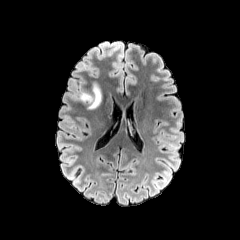
FLAIR MR.
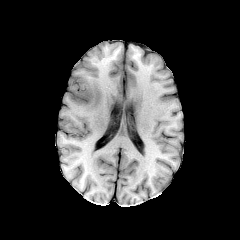
Same slice, T1-weighted MR.
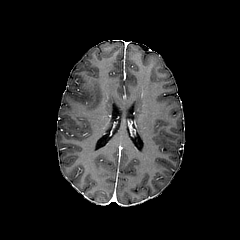
Post-contrast T1-weighted MRI of the same slice.
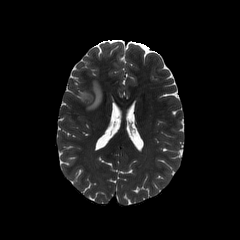
Same slice, T2-weighted MR image.
Axial view, 240x240 px
The peritumoral edema appears at {"x1": 76, "y1": 82, "x2": 101, "y2": 110}.